240x240. Image covers 240 mm x 240 mm.
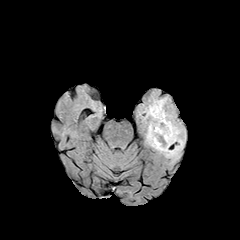
FLAIR magnetic resonance.
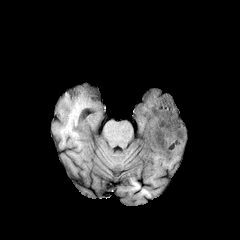
Same slice, T1-weighted MRI.
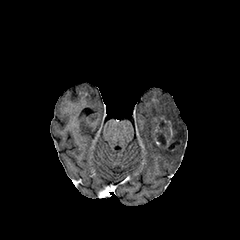
Post-contrast T1-weighted MR of the same slice.
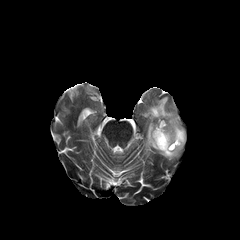
Same slice, T2-weighted MR.
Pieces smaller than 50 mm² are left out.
The largest necrotic tumor core region is bounded by l=154, t=120, r=170, b=147. The peritumoral edema lies within l=144, t=97, r=185, b=158. The largest enhancing tumor region is bounded by l=160, t=116, r=174, b=148.